Head, Axial view
FLAIR MR image.
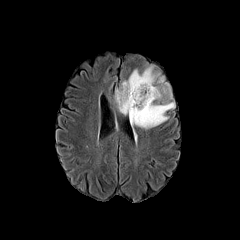
T1-weighted MR.
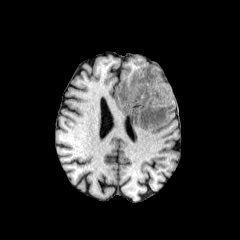
Post-contrast T1-weighted magnetic resonance.
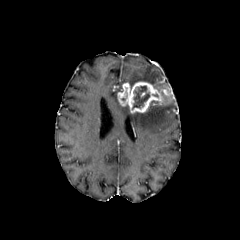
T2-weighted MRI.
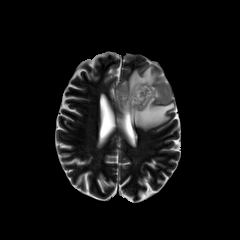
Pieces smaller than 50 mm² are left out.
peritumoral edema: box(114, 89, 175, 129); box(122, 66, 161, 84) | enhancing tumor: box(117, 81, 163, 113) | necrotic tumor core: box(132, 86, 149, 109)